Head
FLAIR MR image.
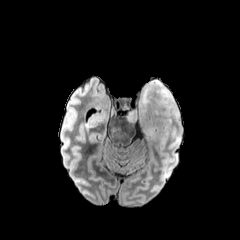
T1-weighted MRI.
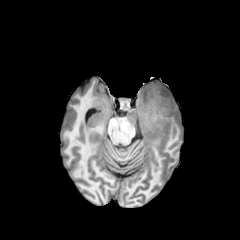
Post-contrast T1-weighted magnetic resonance.
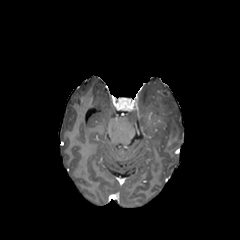
T2-weighted magnetic resonance.
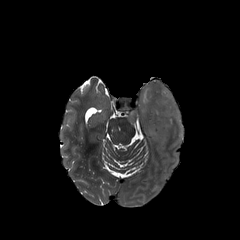
The peritumoral edema is located at bbox=[127, 80, 181, 142].